FLAIR MRI.
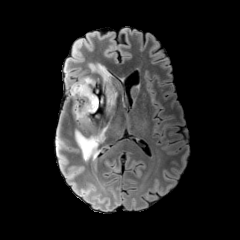
T1-weighted MRI.
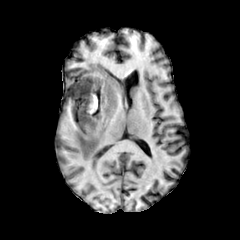
Post-contrast T1-weighted magnetic resonance.
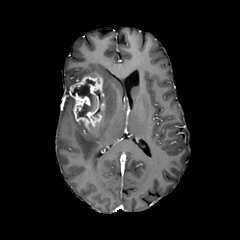
T2-weighted MR image.
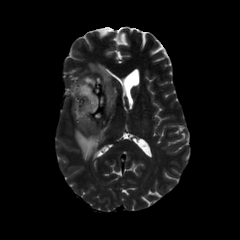
240x240 | Brain
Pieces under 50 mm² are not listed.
The largest peritumoral edema region appears at bbox=[75, 63, 117, 160]. The largest necrotic tumor core region is at bbox=[72, 79, 96, 118]. The enhancing tumor appears at bbox=[69, 74, 105, 131].